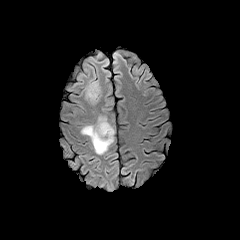
FLAIR MR image.
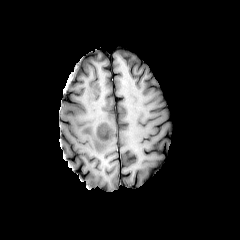
T1-weighted magnetic resonance.
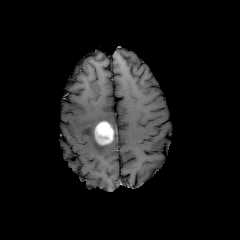
Post-contrast T1-weighted MRI of the same slice.
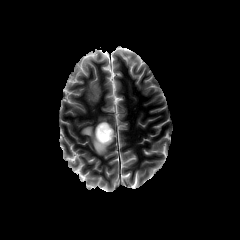
T2-weighted MRI.
enhancing_tumor:
  - box(94, 121, 114, 145)
peritumoral_edema:
  - box(84, 81, 99, 103)
  - box(81, 116, 115, 155)